240x240 px | Head | Axial plane
FLAIR MRI.
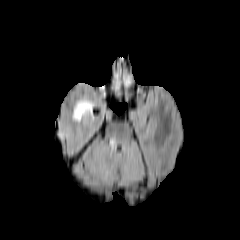
T1-weighted MR image.
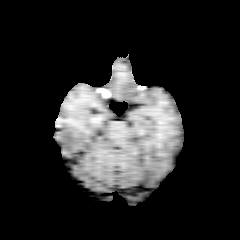
Post-contrast T1-weighted magnetic resonance.
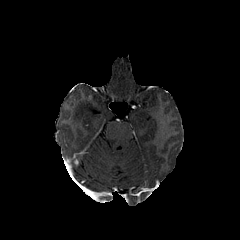
T2-weighted MR.
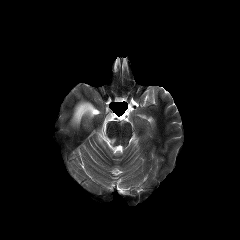
peritumoral edema = [x1=72, y1=99, x2=93, y2=123]